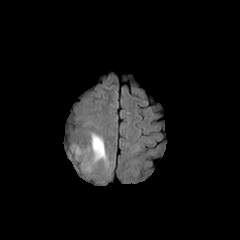
FLAIR MR.
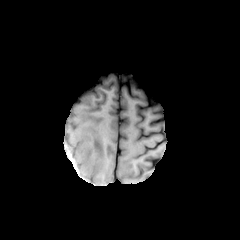
T1-weighted MRI.
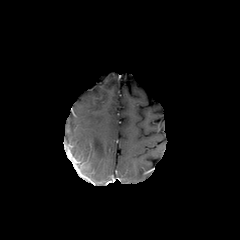
Post-contrast T1-weighted MRI of the same slice.
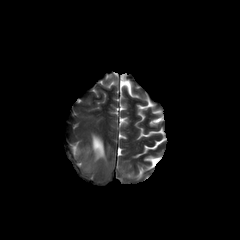
T2-weighted MRI.
Axial slice. Brain. Image size 240x240.
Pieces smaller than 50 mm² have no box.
The enhancing tumor is at (73, 158, 89, 178). The largest peritumoral edema region appears at (70, 133, 108, 176).